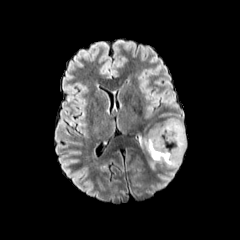
FLAIR MR.
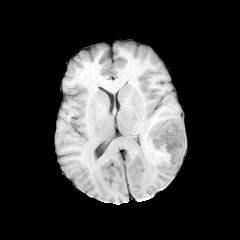
T1-weighted MR image.
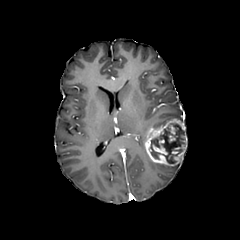
Post-contrast T1-weighted magnetic resonance.
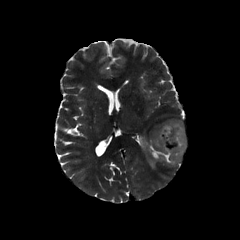
Same slice, T2-weighted MR.
Axial slice, 240x240
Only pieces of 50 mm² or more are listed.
enhancing tumor: bounding box 153,139,167,154; 144,119,187,166
necrotic tumor core: bounding box 150,124,184,163
peritumoral edema: bounding box 165,163,180,170; 140,135,146,153